Slice 106 of 155. Axial slice. Brain.
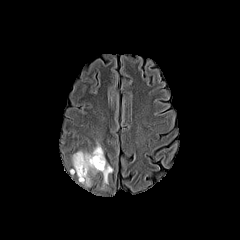
FLAIR MR.
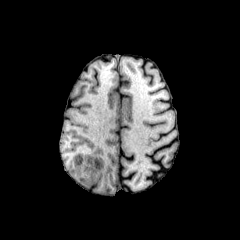
T1-weighted MR image.
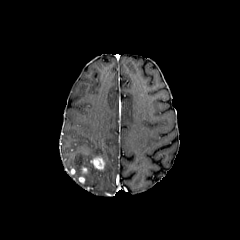
Post-contrast T1-weighted MRI.
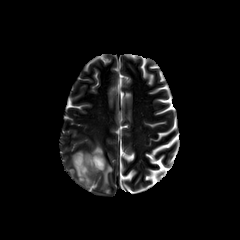
T2-weighted MR image.
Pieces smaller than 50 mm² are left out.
enhancing tumor = <bbox>81, 166, 88, 174</bbox>, <bbox>90, 156, 105, 170</bbox>
peritumoral edema = <bbox>72, 142, 112, 187</bbox>